Brain. Axial plane. Slice index 68.
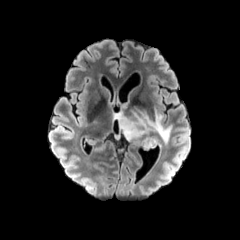
FLAIR MR.
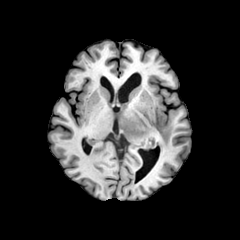
T1-weighted MR image.
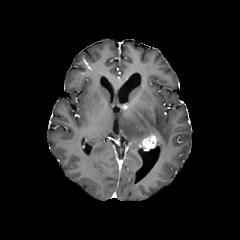
Post-contrast T1-weighted MR image of the same slice.
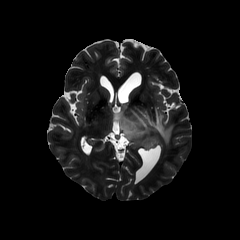
T2-weighted MRI.
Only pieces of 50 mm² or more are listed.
{"enhancing_tumor": ["[139,135,157,150]"], "peritumoral_edema": ["[113,107,171,144]"]}